Head. Slice 85/155. Axial view.
FLAIR MR.
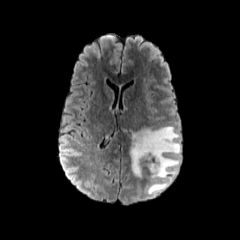
T1-weighted MR image.
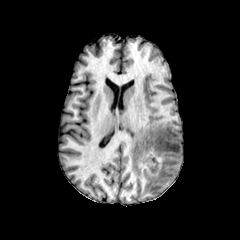
Post-contrast T1-weighted MR image.
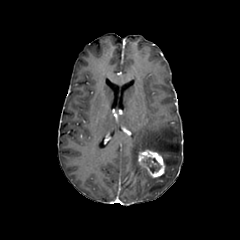
T2-weighted magnetic resonance.
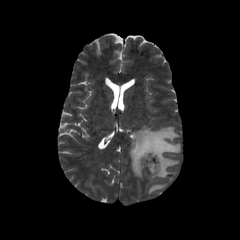
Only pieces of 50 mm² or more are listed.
peritumoral edema — x1=129, y1=125, x2=181, y2=196
enhancing tumor — x1=137, y1=149, x2=166, y2=178
necrotic tumor core — x1=145, y1=157, x2=159, y2=172